Axial plane | 240x240 | Image width 240 mm
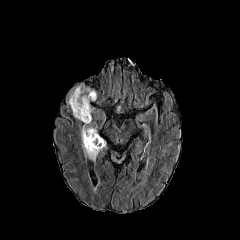
FLAIR MR image.
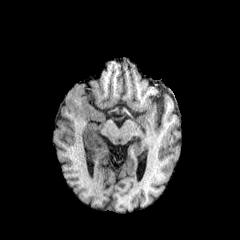
T1-weighted MR image of the same slice.
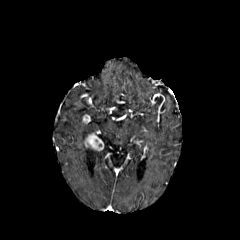
Post-contrast T1-weighted magnetic resonance.
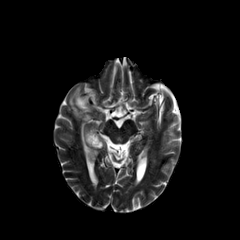
Same slice, T2-weighted MR image.
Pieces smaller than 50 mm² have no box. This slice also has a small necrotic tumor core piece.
3 enhancing tumor regions are bounded by 75:94:93:107, 84:132:103:150, 82:114:90:123. The largest peritumoral edema region appears at 67:83:105:160.